Axial slice; Image width 240 mm, 1.00 mm slice spacing; Slice index 78; Head
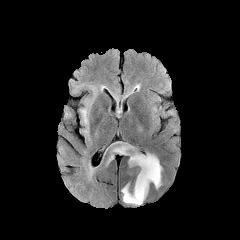
FLAIR magnetic resonance.
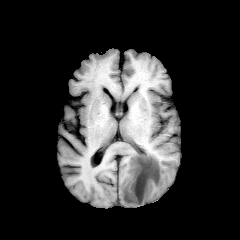
T1-weighted MR image.
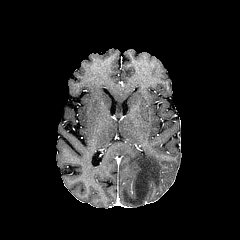
Post-contrast T1-weighted MRI.
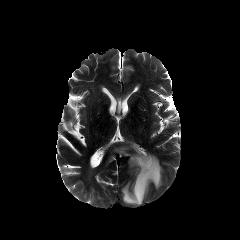
T2-weighted MRI of the same slice.
peritumoral edema = (81, 109, 88, 124), (105, 154, 114, 165), (114, 146, 132, 154), (121, 153, 162, 205)